Slice 36/155 | Image width 240 mm, 1.00 mm slice spacing
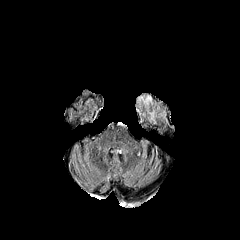
FLAIR magnetic resonance.
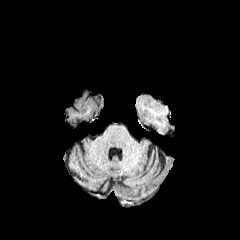
T1-weighted MR of the same slice.
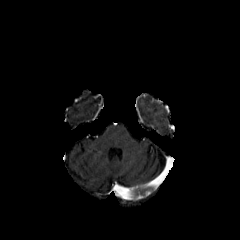
Post-contrast T1-weighted MRI.
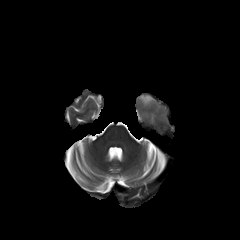
Same slice, T2-weighted MR image.
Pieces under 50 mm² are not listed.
peritumoral edema — (140,96,151,104)